Head; Slice 78/155
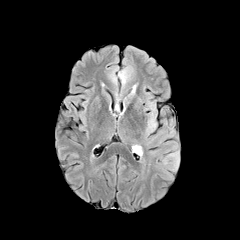
FLAIR MR image.
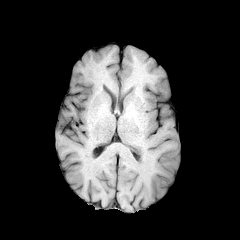
T1-weighted MR image.
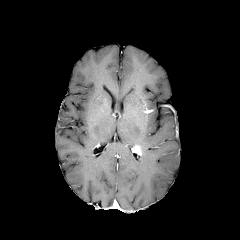
Post-contrast T1-weighted MR image.
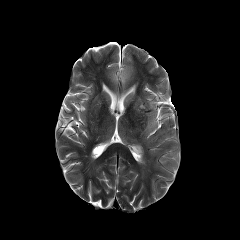
T2-weighted MR of the same slice.
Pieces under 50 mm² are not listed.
enhancing tumor: box(132, 145, 142, 155) | peritumoral edema: box(147, 113, 155, 131)